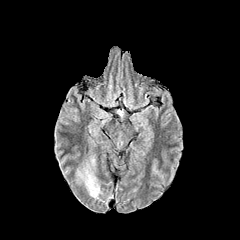
FLAIR MRI.
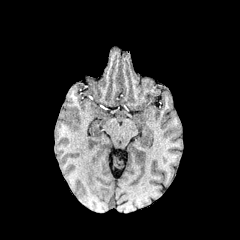
T1-weighted MRI.
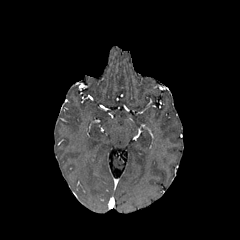
Same slice, post-contrast T1-weighted MRI.
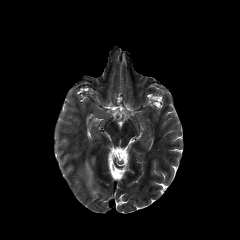
T2-weighted MR.
Brain
peritumoral edema: bounding box rect(77, 156, 100, 198)